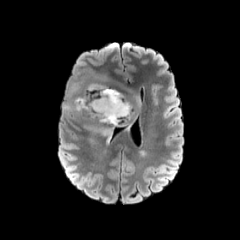
FLAIR magnetic resonance.
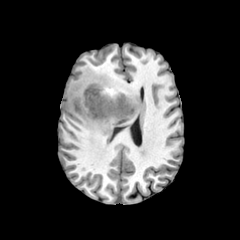
Same slice, T1-weighted magnetic resonance.
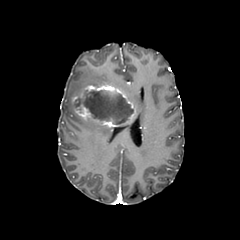
Post-contrast T1-weighted MR of the same slice.
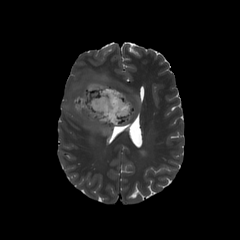
T2-weighted magnetic resonance of the same slice.
Axial view | Head
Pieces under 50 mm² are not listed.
The necrotic tumor core appears at (74, 90, 133, 124). The largest enhancing tumor region lies within (72, 84, 136, 127). The 3 largest peritumoral edema regions appear at (64, 101, 73, 111), (83, 125, 111, 137), (130, 94, 140, 119).